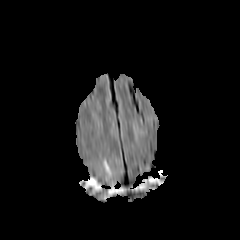
FLAIR magnetic resonance.
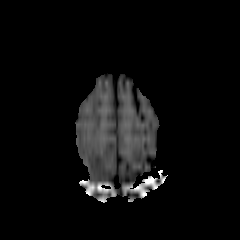
Same slice, T1-weighted MR image.
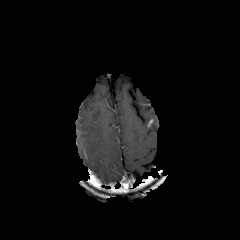
Post-contrast T1-weighted MR image.
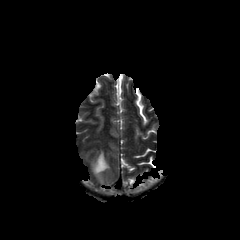
Same slice, T2-weighted MRI.
Axial slice
Annotated regions:
* peritumoral edema: <box>102,158,110,175</box>